FLAIR MR.
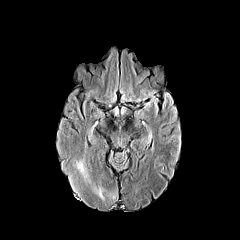
T1-weighted MRI.
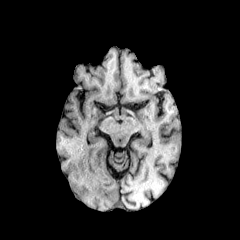
Post-contrast T1-weighted MRI.
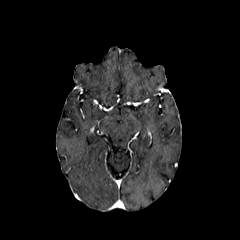
T2-weighted MR image.
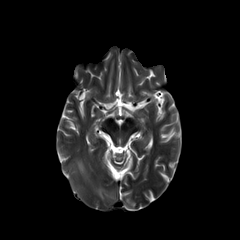
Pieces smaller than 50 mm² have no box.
<segmentation>
  <peritumoral_edema>l=76, t=160, r=88, b=180; l=94, t=187, r=103, b=199</peritumoral_edema>
</segmentation>